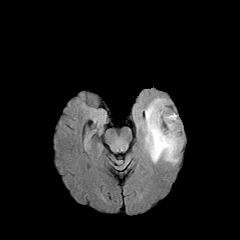
FLAIR MR.
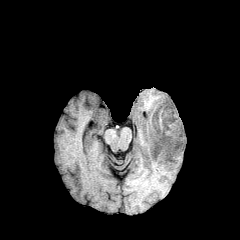
T1-weighted MR.
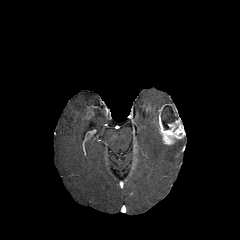
Post-contrast T1-weighted MRI.
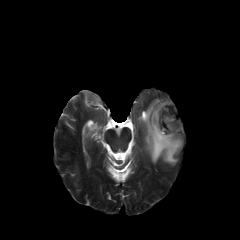
T2-weighted MR.
Axial view
necrotic tumor core: bbox=[161, 105, 178, 129]
peritumoral edema: bbox=[141, 98, 183, 164]
enhancing tumor: bbox=[153, 103, 185, 145]